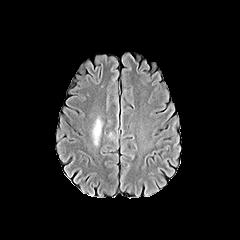
FLAIR magnetic resonance.
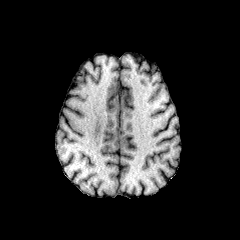
T1-weighted MR.
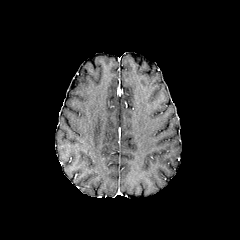
Post-contrast T1-weighted MR.
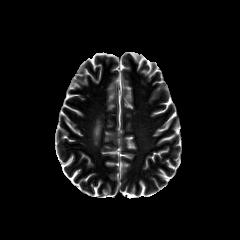
T2-weighted MRI.
Brain | Axial plane
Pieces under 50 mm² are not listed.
Segmented structures:
- peritumoral edema: rect(92, 118, 102, 145)